FLAIR MR.
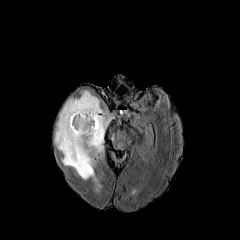
T1-weighted magnetic resonance.
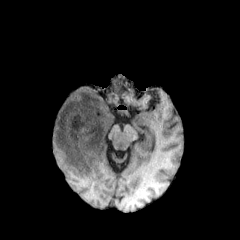
Post-contrast T1-weighted MRI.
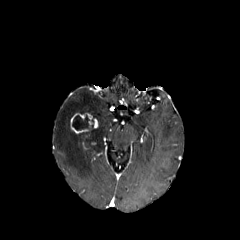
T2-weighted magnetic resonance.
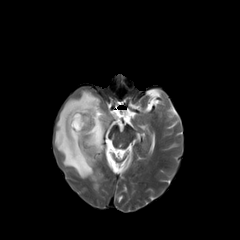
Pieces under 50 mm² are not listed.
The necrotic tumor core appears at [x1=72, y1=115, x2=94, y2=130]. The largest enhancing tumor region is bounded by [x1=70, y1=113, x2=92, y2=133]. The peritumoral edema appears at [x1=54, y1=90, x2=114, y2=181].